FLAIR MRI.
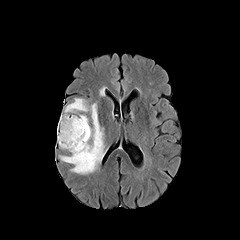
T1-weighted MR.
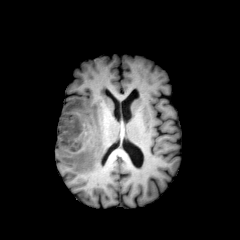
Post-contrast T1-weighted MR image.
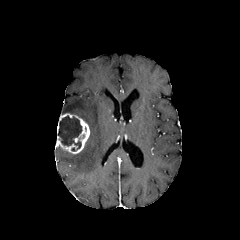
T2-weighted MR.
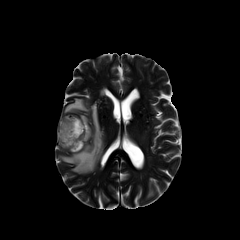
240x240 px | Head | Axial view
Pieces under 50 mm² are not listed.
peritumoral edema at (left=59, top=98, right=104, bottom=174)
enhancing tumor at (left=57, top=113, right=90, bottom=154)
necrotic tumor core at (left=58, top=116, right=81, bottom=149)